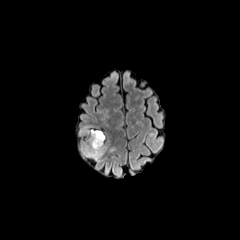
FLAIR magnetic resonance.
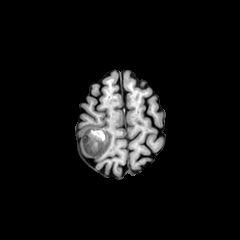
T1-weighted magnetic resonance.
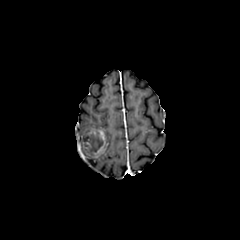
Post-contrast T1-weighted magnetic resonance of the same slice.
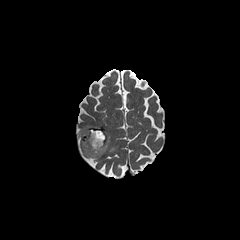
T2-weighted MR image.
Axial plane. Brain.
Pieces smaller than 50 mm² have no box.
enhancing tumor: box(83, 129, 107, 157) | necrotic tumor core: box(88, 132, 103, 153) | peritumoral edema: box(80, 125, 103, 160)